FLAIR MR image.
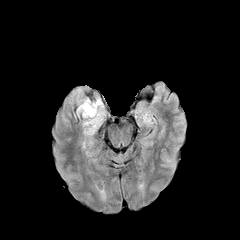
T1-weighted MR image.
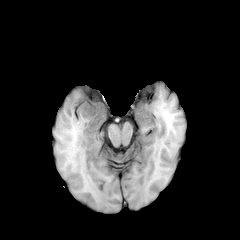
Post-contrast T1-weighted MR.
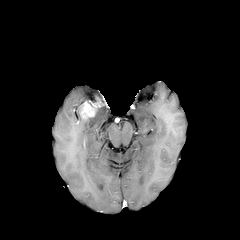
T2-weighted MR.
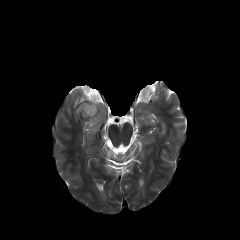
240x240
enhancing_tumor:
  - 78:97:103:118
peritumoral_edema:
  - 85:112:99:127